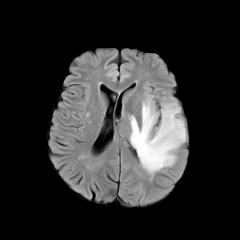
FLAIR MR image.
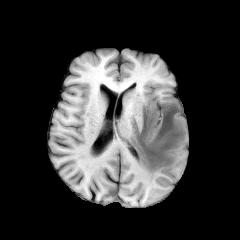
Same slice, T1-weighted magnetic resonance.
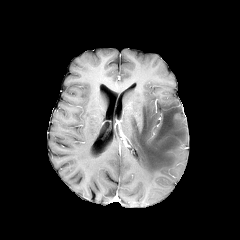
Post-contrast T1-weighted MR.
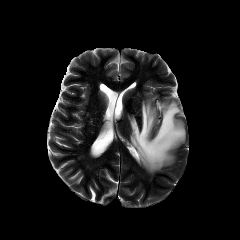
T2-weighted magnetic resonance.
peritumoral edema: (129, 98, 186, 174)